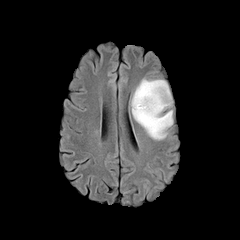
FLAIR MR.
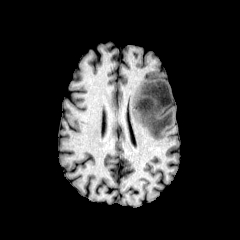
Same slice, T1-weighted MR image.
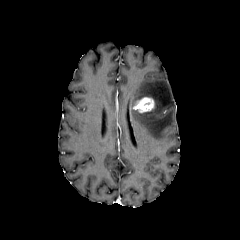
Post-contrast T1-weighted MRI.
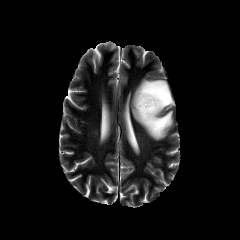
T2-weighted MRI.
enhancing tumor: <bbox>133, 97, 155, 113</bbox> | peritumoral edema: <bbox>130, 78, 173, 140</bbox>